Image size 240x240. Image width 240 mm, 1.00 mm slice spacing. Brain. Axial plane.
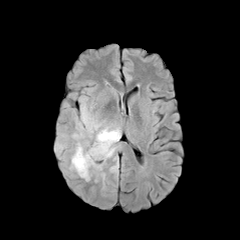
FLAIR MRI.
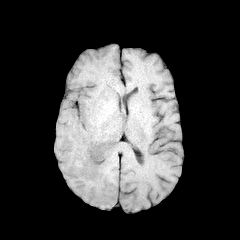
T1-weighted MR image.
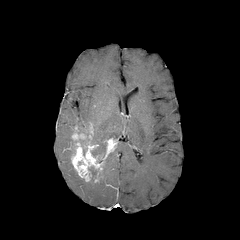
Post-contrast T1-weighted MR of the same slice.
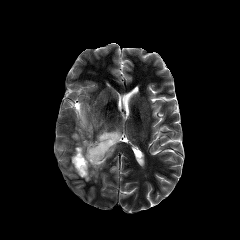
T2-weighted MRI of the same slice.
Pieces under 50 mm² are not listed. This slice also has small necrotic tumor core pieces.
The 3 largest peritumoral edema regions are bounded by rect(110, 162, 118, 172); rect(55, 143, 66, 152); rect(75, 102, 121, 155). The largest enhancing tumor region appears at rect(71, 132, 117, 181).